Axial plane. Slice 64 of 155.
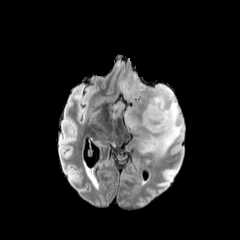
FLAIR MRI.
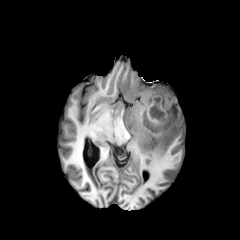
T1-weighted magnetic resonance of the same slice.
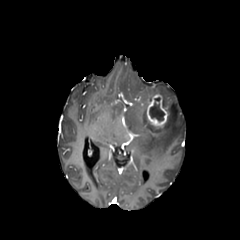
Post-contrast T1-weighted MR.
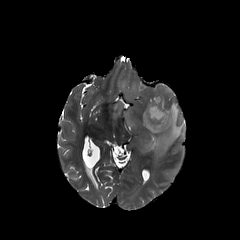
T2-weighted MR.
The necrotic tumor core is located at box(149, 97, 164, 121). The enhancing tumor is bounded by box(146, 93, 168, 127). The peritumoral edema lies within box(114, 79, 184, 155).